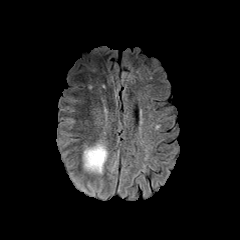
FLAIR magnetic resonance.
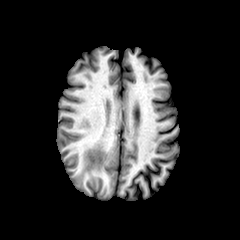
T1-weighted MR.
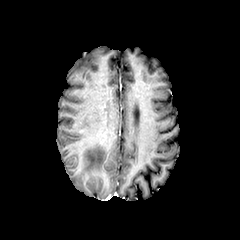
Post-contrast T1-weighted MRI.
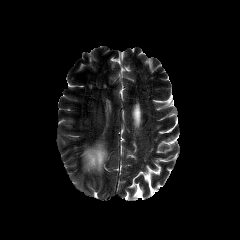
Same slice, T2-weighted MRI.
Axial plane.
The peritumoral edema appears at bbox(83, 142, 107, 173).